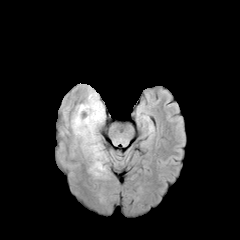
FLAIR MR image.
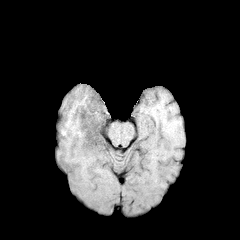
T1-weighted MRI.
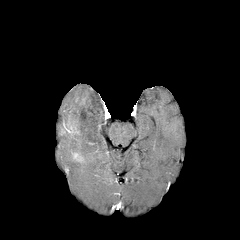
Post-contrast T1-weighted MRI.
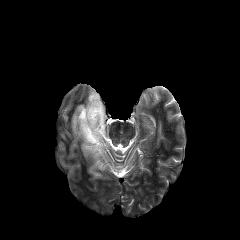
T2-weighted MRI.
Axial view, Head
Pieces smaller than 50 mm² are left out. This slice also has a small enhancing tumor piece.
The largest peritumoral edema region is located at [71,90,108,176].